Slice 51 of 155, Brain, Image width 240 mm
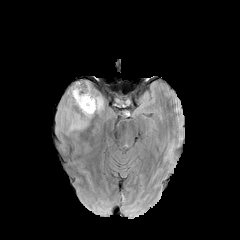
FLAIR MR image.
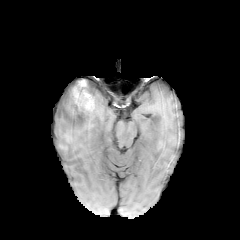
T1-weighted MRI of the same slice.
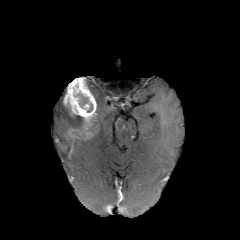
Post-contrast T1-weighted MR image.
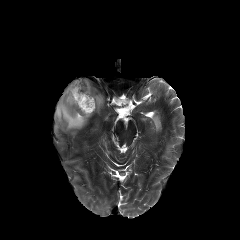
T2-weighted magnetic resonance.
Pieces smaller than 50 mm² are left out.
The 2 largest peritumoral edema regions appear at left=57, top=102, right=87, bottom=131; left=93, top=95, right=103, bottom=111. The largest necrotic tumor core region lies within left=76, top=93, right=89, bottom=107. The largest enhancing tumor region is located at left=63, top=80, right=96, bottom=123.